Axial plane. 240x240. Image width 240 mm, 1.00 mm slice spacing.
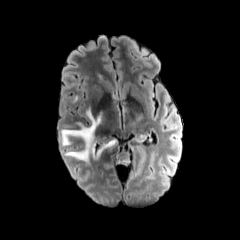
FLAIR magnetic resonance.
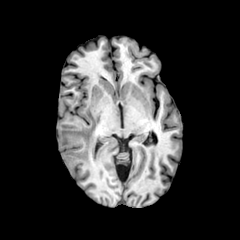
T1-weighted MR image.
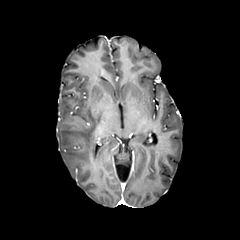
Post-contrast T1-weighted MRI of the same slice.
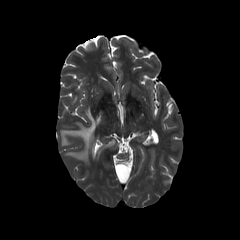
Same slice, T2-weighted MR.
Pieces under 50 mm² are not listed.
peritumoral edema: x1=61 y1=108 x2=102 y2=161